FLAIR MRI.
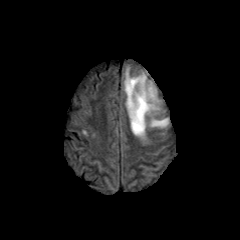
T1-weighted MRI.
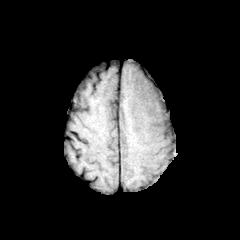
Post-contrast T1-weighted MR image.
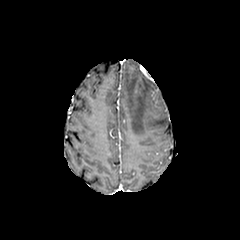
T2-weighted MR image.
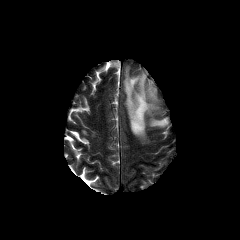
Head
peritumoral edema — (left=124, top=68, right=159, bottom=137), (left=149, top=118, right=168, bottom=127)